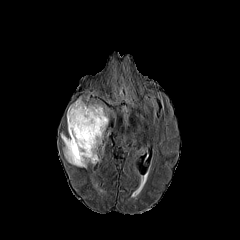
FLAIR MR image.
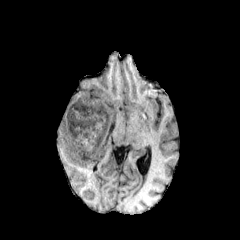
T1-weighted magnetic resonance.
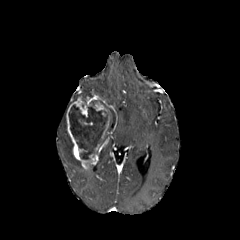
Post-contrast T1-weighted MR image.
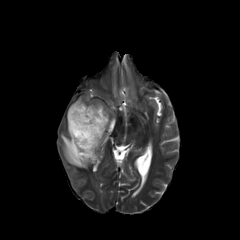
T2-weighted MR.
Image size 240x240
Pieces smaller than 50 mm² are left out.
<segmentation>
  <enhancing_tumor>[66, 93, 109, 168]</enhancing_tumor>
  <necrotic_tumor_core>[68, 105, 108, 159]</necrotic_tumor_core>
  <peritumoral_edema>[61, 133, 82, 167]</peritumoral_edema>
</segmentation>